Image width 240 mm, 1.00 mm slice spacing. Axial view. Slice 97/155. Head.
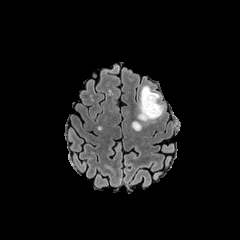
FLAIR MR.
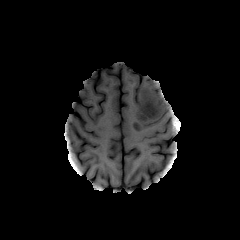
Same slice, T1-weighted MR image.
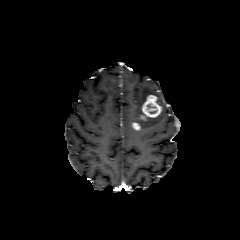
Post-contrast T1-weighted MR image.
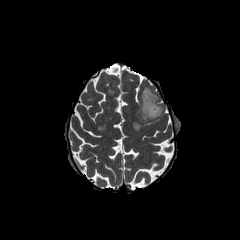
T2-weighted MRI.
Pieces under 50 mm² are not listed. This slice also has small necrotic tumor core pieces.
enhancing tumor = {"x1": 140, "y1": 95, "x2": 161, "y2": 120}
peritumoral edema = {"x1": 137, "y1": 86, "x2": 159, "y2": 121}, {"x1": 146, "y1": 104, "x2": 163, "y2": 120}